Axial view
FLAIR MR image.
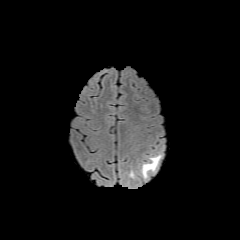
T1-weighted MR image.
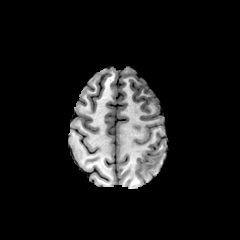
Post-contrast T1-weighted magnetic resonance.
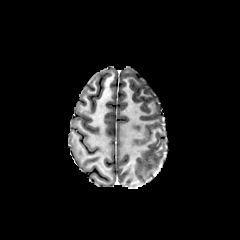
T2-weighted magnetic resonance.
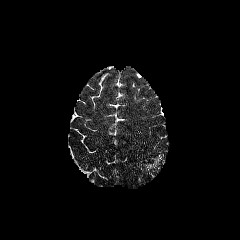
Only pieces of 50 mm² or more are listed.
The largest peritumoral edema region appears at {"x1": 141, "y1": 155, "x2": 162, "y2": 177}.